Head; 240x240; Axial view
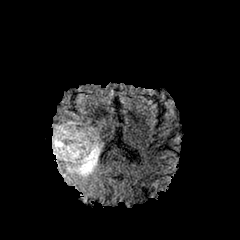
FLAIR MR image.
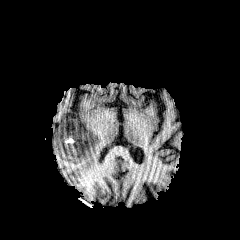
T1-weighted magnetic resonance.
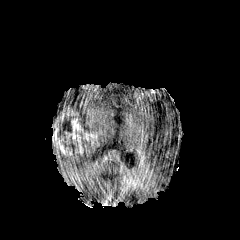
Same slice, post-contrast T1-weighted MR.
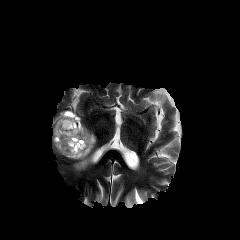
T2-weighted MRI.
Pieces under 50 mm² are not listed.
enhancing tumor: bounding box left=52, top=111, right=97, bottom=157
necrotic tumor core: bounding box left=57, top=121, right=75, bottom=149
peritumoral edema: bounding box left=52, top=141, right=102, bottom=176